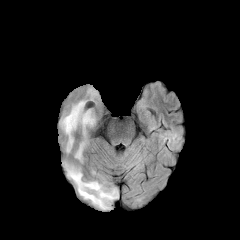
FLAIR MRI.
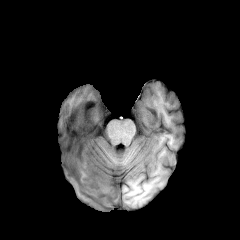
Same slice, T1-weighted magnetic resonance.
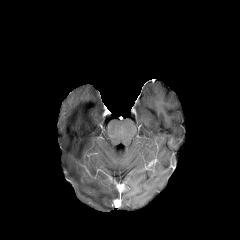
Same slice, post-contrast T1-weighted MR.
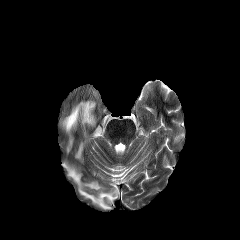
T2-weighted magnetic resonance.
Axial plane. Image size 240x240.
2 peritumoral edema regions are bounded by (left=60, top=100, right=95, bottom=161), (left=63, top=162, right=118, bottom=209).